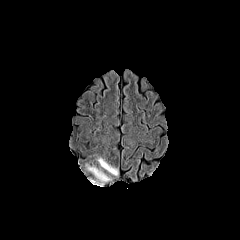
FLAIR magnetic resonance.
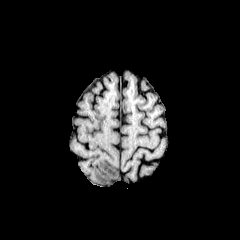
T1-weighted MR.
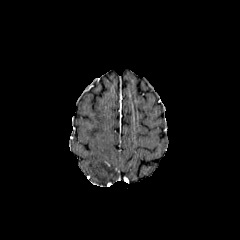
Post-contrast T1-weighted MR.
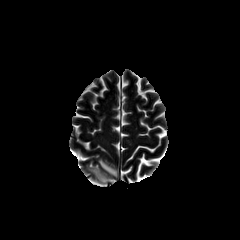
Same slice, T2-weighted MR.
Brain. Axial plane.
peritumoral_edema:
  - x1=87, y1=166, x2=111, y2=184
  - x1=98, y1=158, x2=117, y2=176